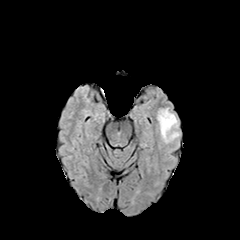
FLAIR magnetic resonance.
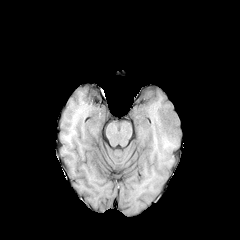
Same slice, T1-weighted MRI.
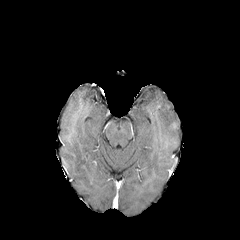
Post-contrast T1-weighted magnetic resonance.
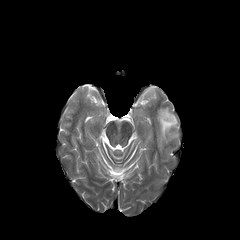
T2-weighted MR image of the same slice.
Head. Axial slice.
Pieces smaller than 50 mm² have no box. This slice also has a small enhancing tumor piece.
Annotated regions:
- peritumoral edema: (157,107,179,142)